Head
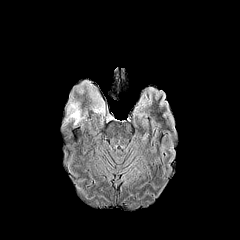
FLAIR MR image.
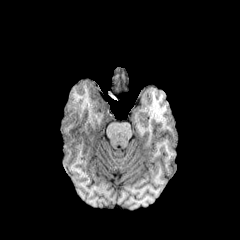
T1-weighted MR image of the same slice.
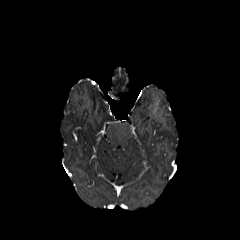
Post-contrast T1-weighted MR image.
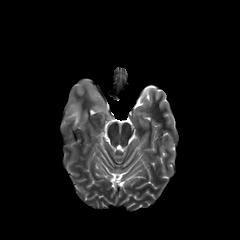
T2-weighted magnetic resonance.
peritumoral edema — rect(93, 93, 105, 115); rect(66, 102, 82, 125)